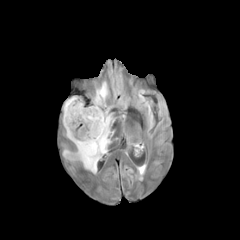
FLAIR magnetic resonance.
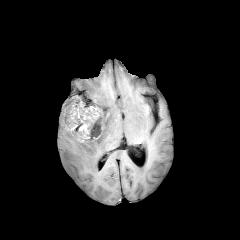
Same slice, T1-weighted MRI.
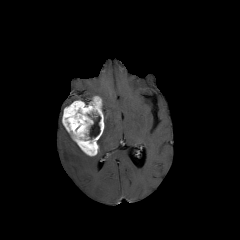
Same slice, post-contrast T1-weighted MR.
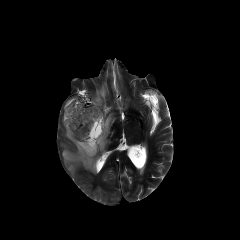
T2-weighted MR image of the same slice.
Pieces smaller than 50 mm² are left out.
peritumoral edema at x1=94 y1=82 x2=108 y2=106, x1=62 y1=107 x2=114 y2=173, x1=64 y1=96 x2=78 y2=107
necrotic tumor core at x1=89 y1=116 x2=100 y2=138
enhancing tumor at x1=62 y1=95 x2=104 y2=156